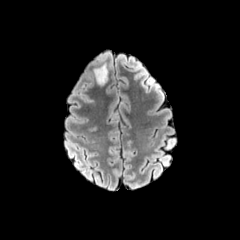
FLAIR MRI.
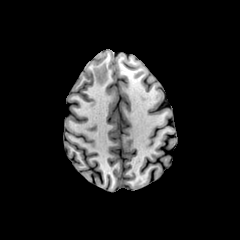
T1-weighted MRI of the same slice.
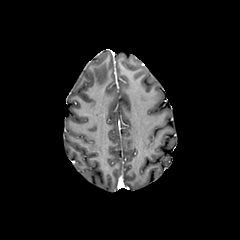
Post-contrast T1-weighted magnetic resonance of the same slice.
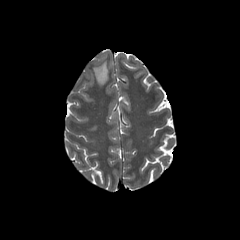
T2-weighted MR.
Head
peritumoral edema: left=94, top=63, right=107, bottom=85